Slice 133 of 155, Image size 240x240, Axial view
FLAIR MR image.
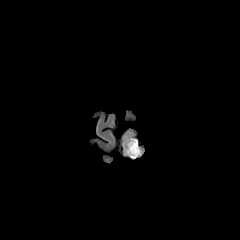
T1-weighted magnetic resonance.
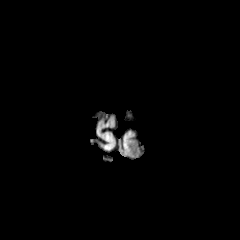
Post-contrast T1-weighted MR image.
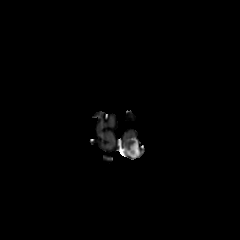
T2-weighted magnetic resonance.
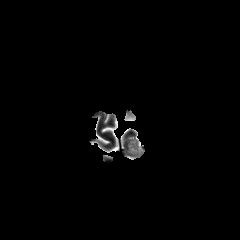
The peritumoral edema is bounded by 122:130:133:154. The enhancing tumor lies within 126:139:142:158.